Brain; Axial view
FLAIR MR image.
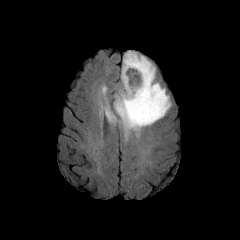
T1-weighted magnetic resonance.
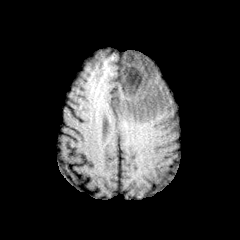
Post-contrast T1-weighted MR image.
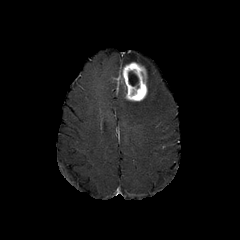
T2-weighted MR image.
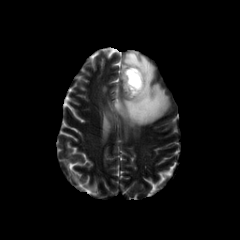
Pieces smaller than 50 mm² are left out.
necrotic tumor core at x1=129 y1=71 x2=138 y2=85
enhancing tumor at x1=120 y1=62 x2=147 y2=101
peritumoral edema at x1=105 y1=106 x2=116 y2=121, x1=113 y1=51 x2=170 y2=129